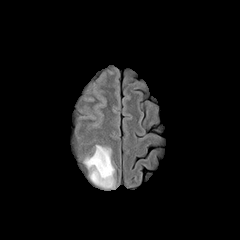
FLAIR MR image.
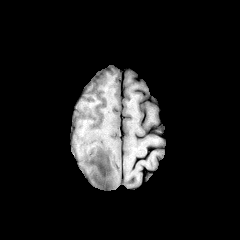
T1-weighted magnetic resonance.
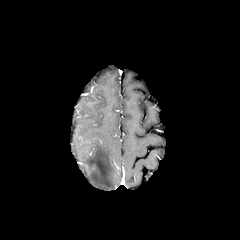
Post-contrast T1-weighted MR.
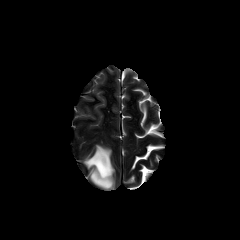
T2-weighted magnetic resonance of the same slice.
Axial slice; Brain
peritumoral_edema:
  - 84, 144, 115, 189